FLAIR MR.
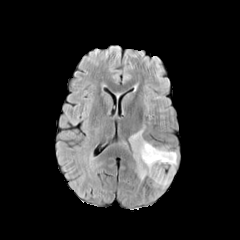
T1-weighted MRI.
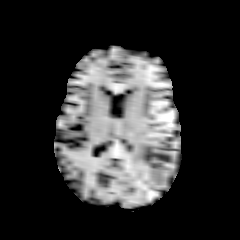
Post-contrast T1-weighted MR image.
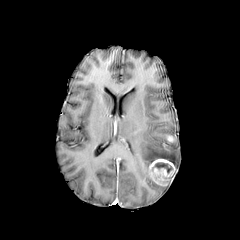
T2-weighted magnetic resonance.
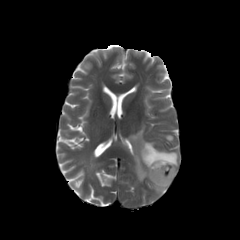
240x240 | Axial view
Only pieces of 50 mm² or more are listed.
The largest peritumoral edema region is located at 130, 126, 177, 180. The largest necrotic tumor core region lies within 155, 163, 171, 172. The largest enhancing tumor region lies within 149, 158, 176, 185.